Axial view; Head
FLAIR MRI.
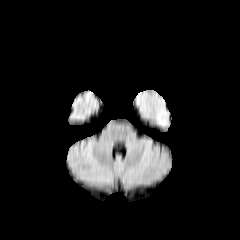
T1-weighted MR.
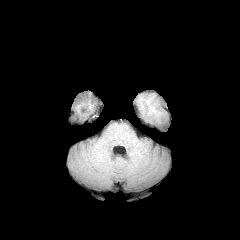
Post-contrast T1-weighted magnetic resonance.
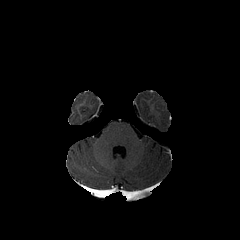
T2-weighted magnetic resonance.
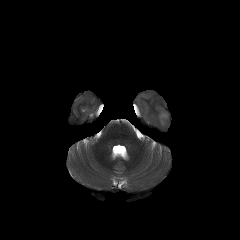
peritumoral edema: x1=158 y1=112 x2=166 y2=124